FLAIR MR.
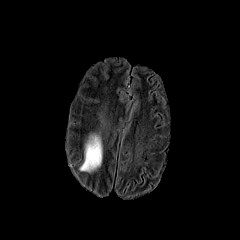
T1-weighted magnetic resonance.
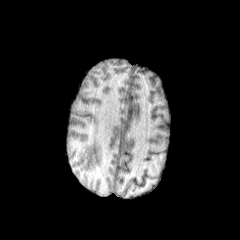
Post-contrast T1-weighted MR.
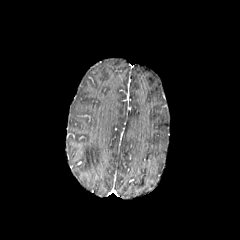
T2-weighted magnetic resonance.
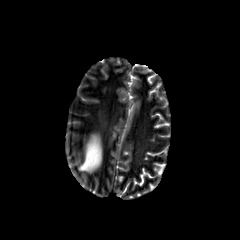
Brain; 240x240
peritumoral edema: (79, 131, 103, 173)